FLAIR MR image.
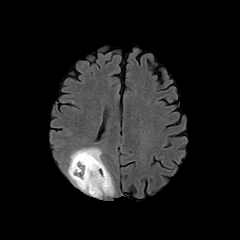
T1-weighted MRI.
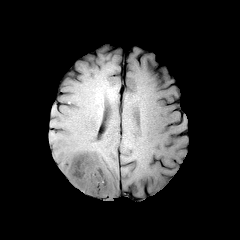
Post-contrast T1-weighted MR.
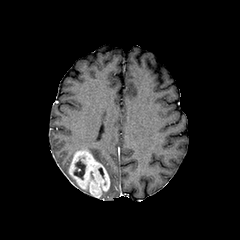
T2-weighted magnetic resonance.
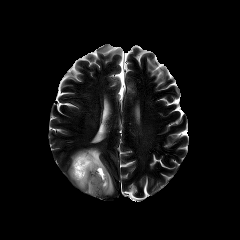
Brain, 240x240 px, Axial plane
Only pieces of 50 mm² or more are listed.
necrotic tumor core — bbox=[74, 159, 85, 179]
enhancing tumor — bbox=[68, 150, 110, 197]
peritumoral edema — bbox=[77, 147, 114, 195]